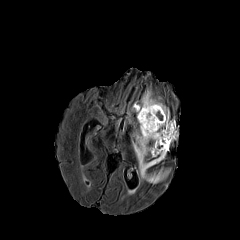
FLAIR magnetic resonance.
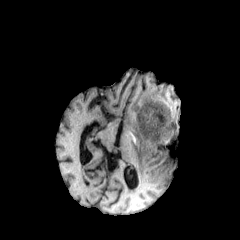
Same slice, T1-weighted MRI.
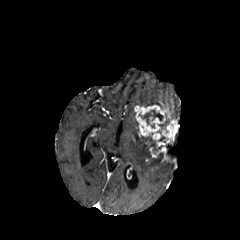
Post-contrast T1-weighted MR image.
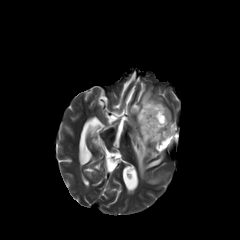
T2-weighted MR image of the same slice.
Head.
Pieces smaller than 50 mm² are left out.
<segmentation>
  <enhancing_tumor>[x1=134, y1=103, x2=177, y2=158]</enhancing_tumor>
  <peritumoral_edema>[x1=132, y1=131, x2=168, y2=183], [x1=131, y1=90, x2=161, y2=111]</peritumoral_edema>
  <necrotic_tumor_core>[x1=142, y1=110, x2=163, y2=123]</necrotic_tumor_core>
</segmentation>